FLAIR MRI.
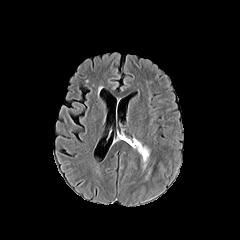
T1-weighted MR image.
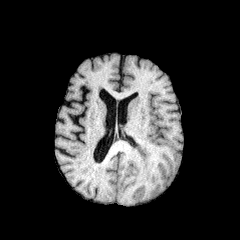
Post-contrast T1-weighted MR.
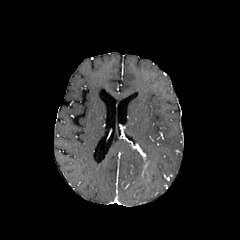
T2-weighted MRI.
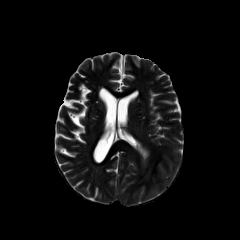
Brain
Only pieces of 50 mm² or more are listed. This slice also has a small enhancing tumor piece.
peritumoral edema: bounding box [135,140,149,168]